FLAIR MRI.
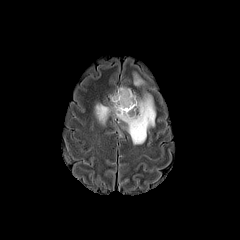
T1-weighted MRI.
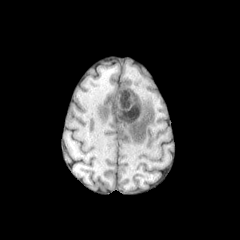
Post-contrast T1-weighted MR image.
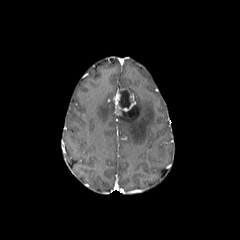
T2-weighted magnetic resonance.
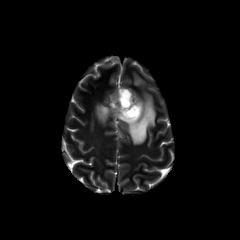
Brain | Axial slice
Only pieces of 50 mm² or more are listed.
Findings:
- necrotic tumor core: {"x1": 122, "y1": 105, "x2": 136, "y2": 115}, {"x1": 119, "y1": 89, "x2": 132, "y2": 108}
- peritumoral edema: {"x1": 114, "y1": 93, "x2": 155, "y2": 144}, {"x1": 95, "y1": 104, "x2": 114, "y2": 124}, {"x1": 134, "y1": 74, "x2": 144, "y2": 85}
- enhancing tumor: {"x1": 113, "y1": 90, "x2": 136, "y2": 115}